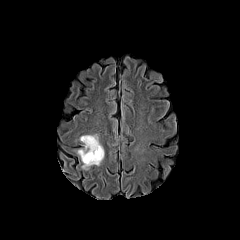
FLAIR magnetic resonance.
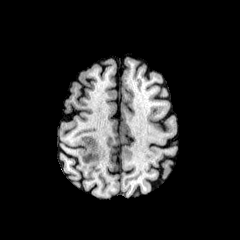
Same slice, T1-weighted MR image.
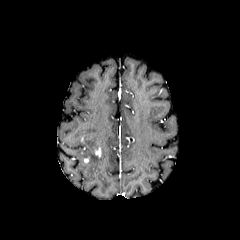
Same slice, post-contrast T1-weighted MR.
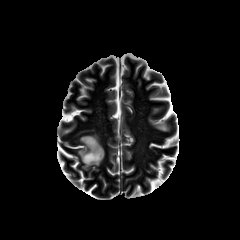
T2-weighted MR of the same slice.
240x240 px, Axial plane
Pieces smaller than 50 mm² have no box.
• enhancing tumor: rect(95, 147, 101, 157)
• peritumoral edema: rect(77, 134, 104, 169)